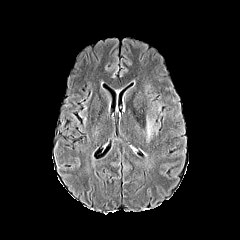
FLAIR MRI.
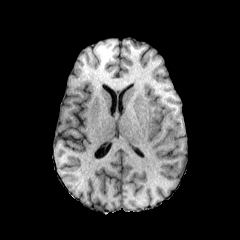
T1-weighted MRI of the same slice.
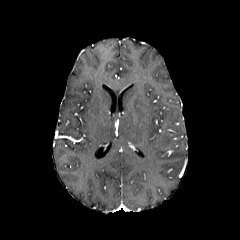
Post-contrast T1-weighted magnetic resonance of the same slice.
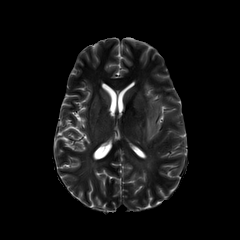
T2-weighted MR image.
Axial plane
peritumoral edema: left=146, top=102, right=159, bottom=141